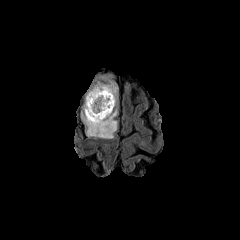
FLAIR magnetic resonance.
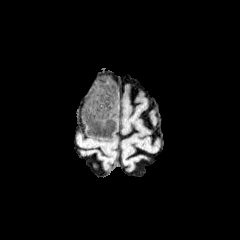
Same slice, T1-weighted MRI.
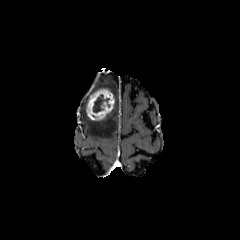
Post-contrast T1-weighted MRI.
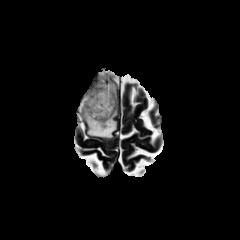
T2-weighted MR image.
240x240
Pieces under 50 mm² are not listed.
enhancing tumor at (86,88,114,120)
necrotic tumor core at (93,94,103,112)
peritumoral edema at (81,78,117,138)